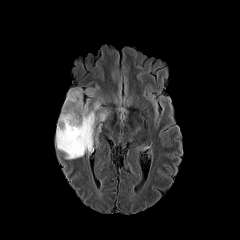
FLAIR magnetic resonance.
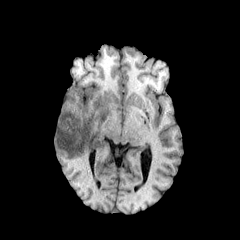
Same slice, T1-weighted MR.
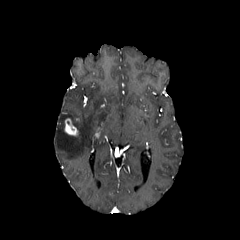
Post-contrast T1-weighted MR image.
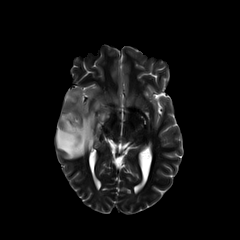
T2-weighted MR image.
Head
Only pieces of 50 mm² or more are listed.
The largest peritumoral edema region is at bbox(56, 88, 108, 159). The enhancing tumor appears at bbox(64, 118, 78, 135).